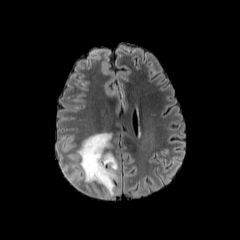
FLAIR MR.
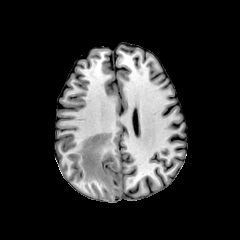
Same slice, T1-weighted MRI.
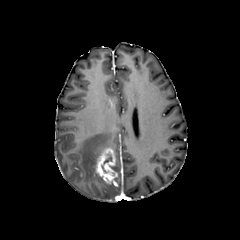
Same slice, post-contrast T1-weighted magnetic resonance.
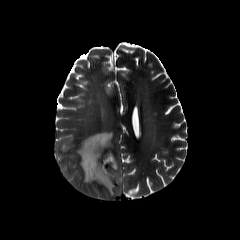
T2-weighted MR image.
Image size 240x240, Axial slice, Head
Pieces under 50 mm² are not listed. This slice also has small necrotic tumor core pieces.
enhancing tumor: bbox(94, 148, 117, 184) | peritumoral edema: bbox(77, 133, 115, 195)